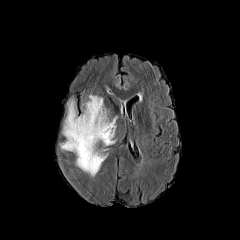
FLAIR MR.
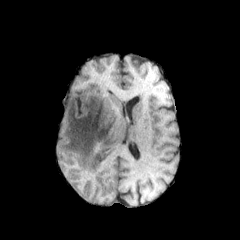
T1-weighted MR image of the same slice.
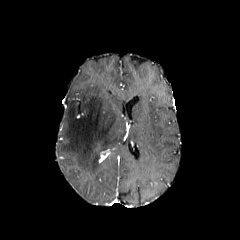
Post-contrast T1-weighted MR of the same slice.
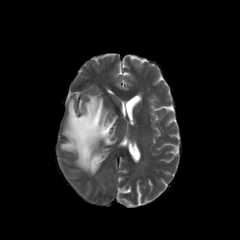
T2-weighted MR image.
Axial slice | 240x240 px
enhancing_tumor:
  - {"x1": 99, "y1": 150, "x2": 108, "y2": 162}
peritumoral_edema:
  - {"x1": 60, "y1": 94, "x2": 117, "y2": 175}